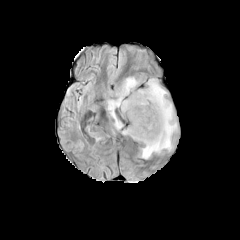
FLAIR MRI.
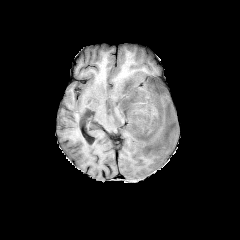
T1-weighted MR image.
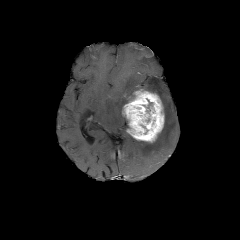
Post-contrast T1-weighted magnetic resonance.
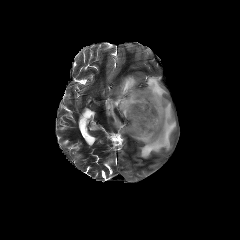
T2-weighted MR image of the same slice.
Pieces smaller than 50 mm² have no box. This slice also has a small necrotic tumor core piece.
The 2 largest peritumoral edema regions are located at box=[139, 78, 176, 158]; box=[107, 76, 139, 129]. The enhancing tumor is bounded by box=[122, 89, 164, 142].